Image width 240 mm, 1.00 mm slice spacing | Slice index 92
FLAIR MR.
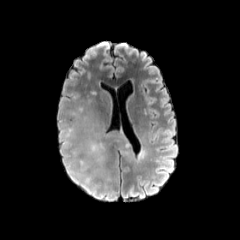
T1-weighted MRI.
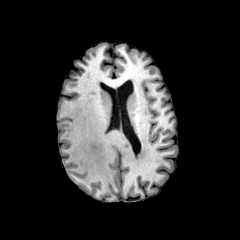
Post-contrast T1-weighted magnetic resonance.
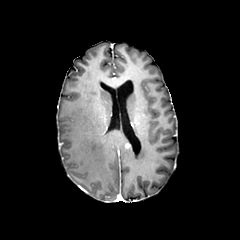
T2-weighted MR image.
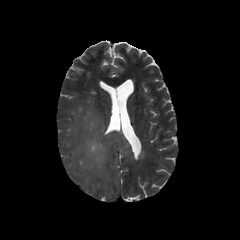
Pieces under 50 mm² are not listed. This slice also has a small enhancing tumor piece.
peritumoral_edema:
  - 73 123 109 183